FLAIR magnetic resonance.
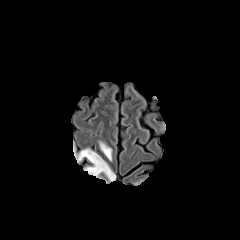
T1-weighted magnetic resonance.
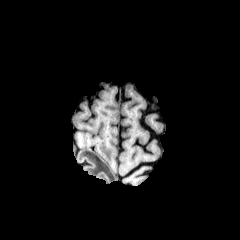
Post-contrast T1-weighted magnetic resonance.
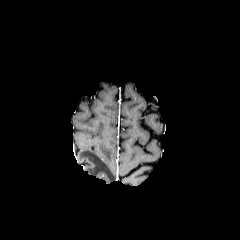
T2-weighted magnetic resonance.
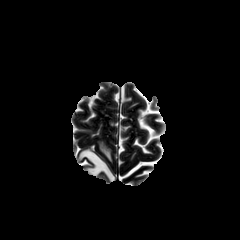
<segmentation>
  <peritumoral_edema>(99,142,111,160), (78,149,115,181)</peritumoral_edema>
</segmentation>